FLAIR magnetic resonance.
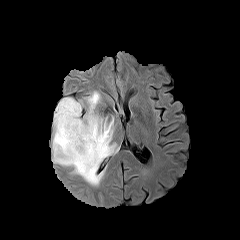
T1-weighted MR image.
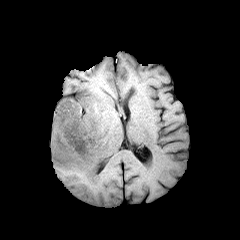
Post-contrast T1-weighted MRI.
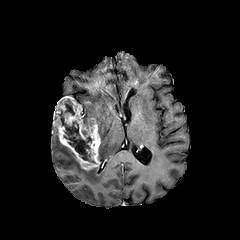
T2-weighted MRI.
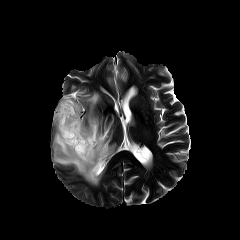
Head
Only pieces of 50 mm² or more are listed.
peritumoral_edema:
  - 82,91,118,161
  - 52,126,104,185
necrotic_tumor_core:
  - 58,99,94,163
enhancing_tumor:
  - 53,96,100,170